Axial plane; Image covers 240 mm x 240 mm
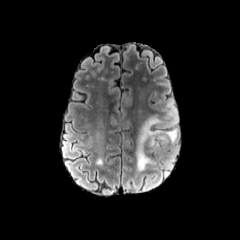
FLAIR MR.
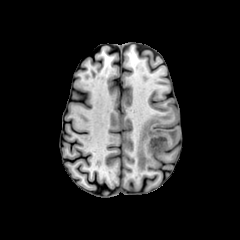
T1-weighted MRI.
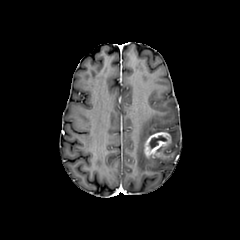
Post-contrast T1-weighted MR.
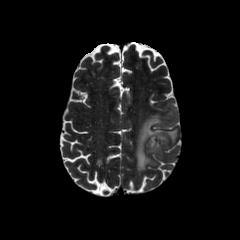
Same slice, T2-weighted magnetic resonance.
The enhancing tumor is bounded by (144, 131, 171, 157). 2 peritumoral edema regions are bounded by (169, 147, 178, 160), (135, 100, 178, 171). The necrotic tumor core appears at (149, 136, 166, 148).